FLAIR MRI.
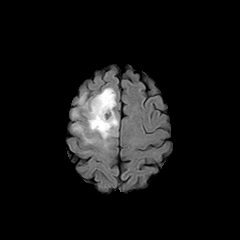
T1-weighted MRI.
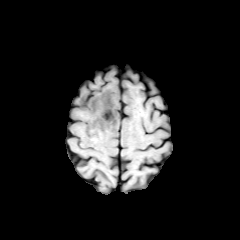
Post-contrast T1-weighted MR.
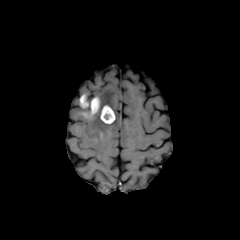
T2-weighted magnetic resonance.
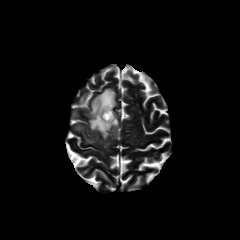
Head. Axial plane.
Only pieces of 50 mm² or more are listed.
peritumoral edema: <box>73,124,98,143</box>, <box>87,87,118,148</box>
enhancing tumor: <box>100,105,115,123</box>, <box>79,94,100,117</box>